Brain | 240x240 px | Slice 98 of 155
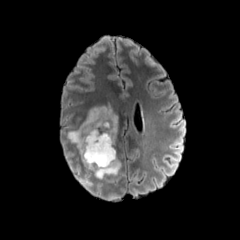
FLAIR MR image.
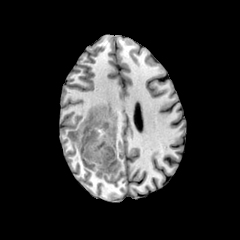
T1-weighted MRI.
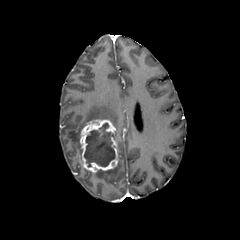
Same slice, post-contrast T1-weighted MRI.
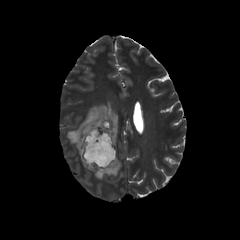
T2-weighted MR image of the same slice.
The enhancing tumor is at 79, 119, 117, 172. The necrotic tumor core is located at 84, 123, 115, 166. 2 peritumoral edema regions are located at 67, 105, 117, 153; 94, 159, 121, 179.